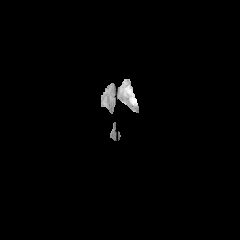
FLAIR MR image.
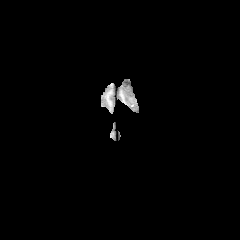
T1-weighted MR.
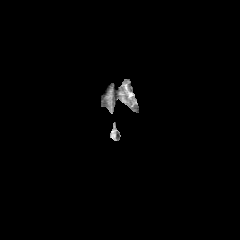
Post-contrast T1-weighted magnetic resonance.
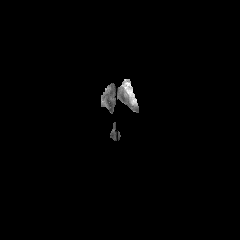
Same slice, T2-weighted MR.
Axial slice. Head.
Annotated regions:
* peritumoral edema: bbox(124, 82, 137, 105)